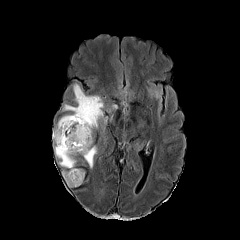
FLAIR MR.
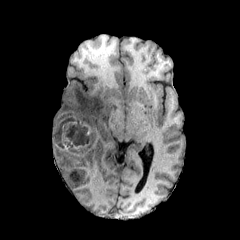
T1-weighted MR image.
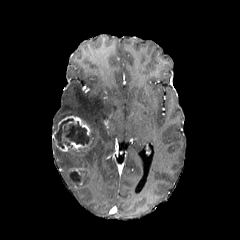
Post-contrast T1-weighted MR.
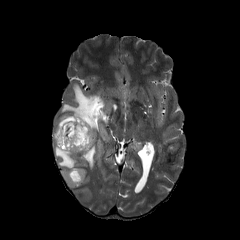
T2-weighted MR of the same slice.
Image size 240x240, Axial slice
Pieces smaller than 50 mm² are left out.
enhancing tumor — 58,116,90,135; 52,131,69,151; 71,140,91,151
necrotic tumor core — 54,118,92,149; 72,171,82,184
peritumoral edema — 62,83,104,134; 148,87,161,101; 53,139,96,187